240x240
FLAIR MRI.
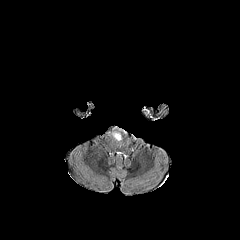
T1-weighted MR.
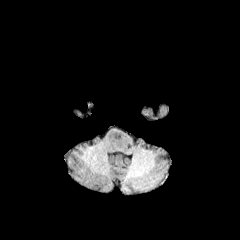
Post-contrast T1-weighted magnetic resonance.
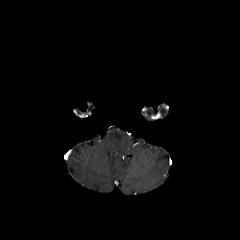
T2-weighted MR image.
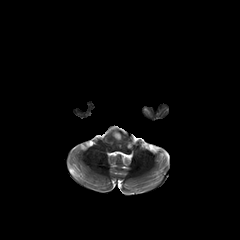
The peritumoral edema is at box=[112, 131, 121, 140].